240x240 px, Head, Image width 240 mm
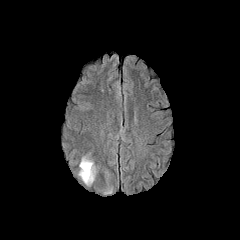
FLAIR MRI.
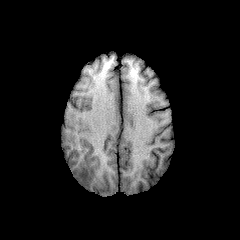
T1-weighted magnetic resonance.
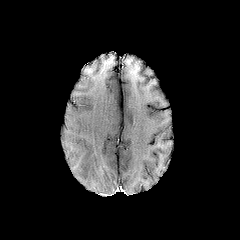
Post-contrast T1-weighted MRI.
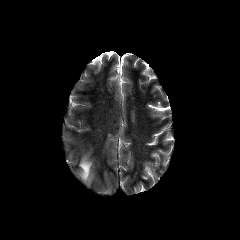
T2-weighted MR image.
Findings:
* peritumoral edema: bbox=[79, 158, 93, 184]